Slice 63 of 155 | Brain | 240x240 px
FLAIR magnetic resonance.
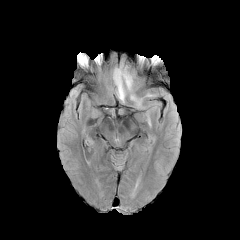
T1-weighted MRI.
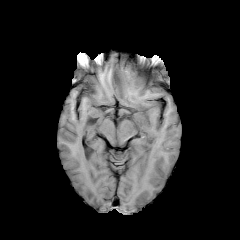
Post-contrast T1-weighted magnetic resonance.
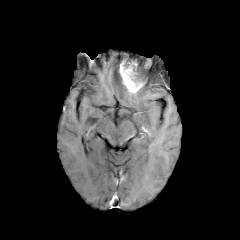
T2-weighted MR.
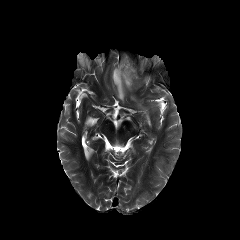
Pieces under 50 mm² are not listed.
<segmentation>
  <enhancing_tumor>{"x1": 119, "y1": 59, "x2": 143, "y2": 93}</enhancing_tumor>
  <peritumoral_edema>{"x1": 130, "y1": 88, "x2": 161, "y2": 107}, {"x1": 112, "y1": 67, "x2": 128, "y2": 102}</peritumoral_edema>
  <necrotic_tumor_core>{"x1": 125, "y1": 58, "x2": 143, "y2": 81}</necrotic_tumor_core>
</segmentation>